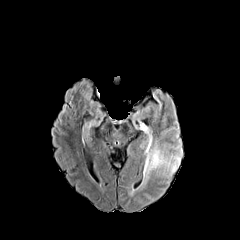
FLAIR MRI.
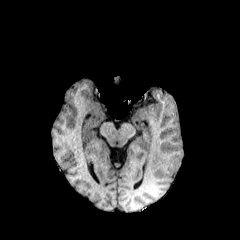
T1-weighted MR image.
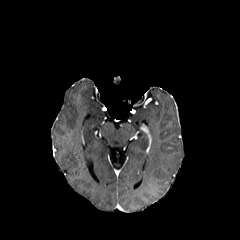
Post-contrast T1-weighted MR image.
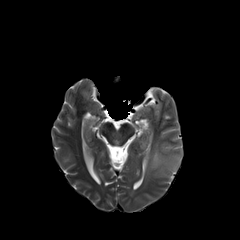
T2-weighted MR image.
Axial view | Image size 240x240 | Head
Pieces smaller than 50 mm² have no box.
- peritumoral edema: box(143, 138, 182, 178)